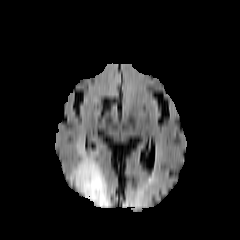
FLAIR MR.
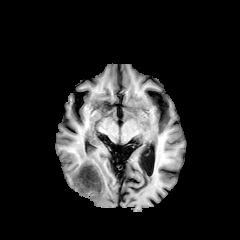
Same slice, T1-weighted magnetic resonance.
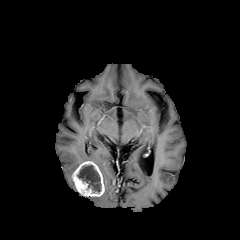
Same slice, post-contrast T1-weighted MR.
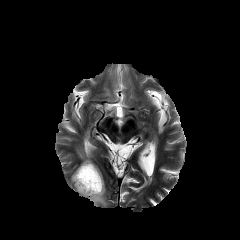
T2-weighted MR of the same slice.
240x240 px | Axial plane | Brain
peritumoral edema: bounding box box(70, 141, 110, 207)
necrotic tumor core: bounding box box(77, 165, 100, 192)
enhancing tumor: bounding box box(72, 161, 104, 196)